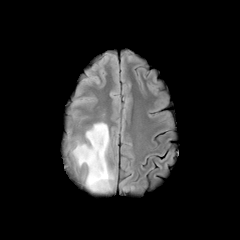
FLAIR MR image.
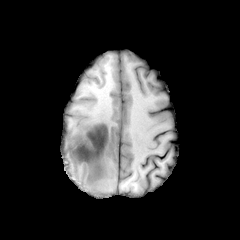
Same slice, T1-weighted MRI.
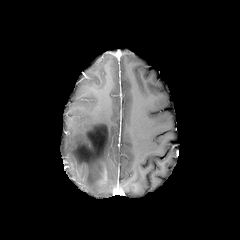
Post-contrast T1-weighted MR image.
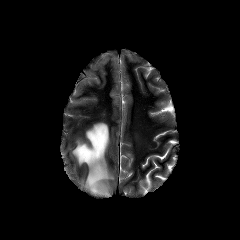
T2-weighted magnetic resonance.
Axial slice | 240x240 px | Brain
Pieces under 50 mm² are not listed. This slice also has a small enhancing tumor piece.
Findings:
• peritumoral edema: (72,122,114,192)